Head, 240x240 px, Slice index 41, Image width 240 mm, 1.00 mm slice spacing
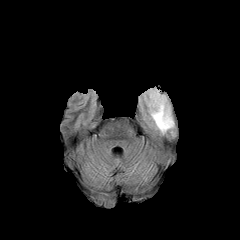
FLAIR MRI.
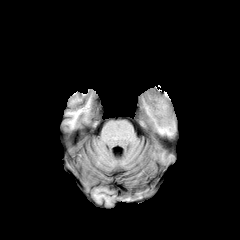
Same slice, T1-weighted MR image.
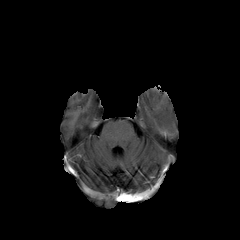
Post-contrast T1-weighted MRI.
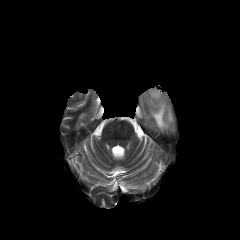
T2-weighted magnetic resonance.
peritumoral edema at {"x1": 143, "y1": 88, "x2": 173, "y2": 132}